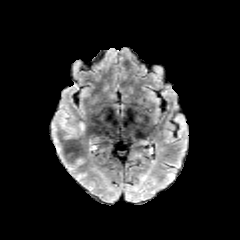
FLAIR magnetic resonance.
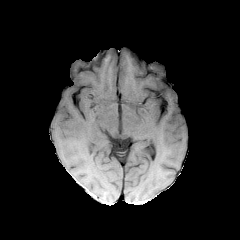
Same slice, T1-weighted MRI.
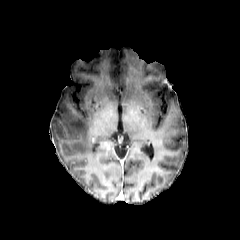
Post-contrast T1-weighted MR.
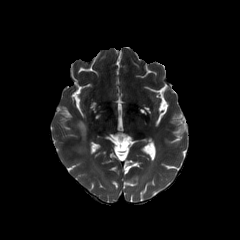
T2-weighted MR of the same slice.
Axial slice.
peritumoral edema at box=[77, 122, 85, 132]